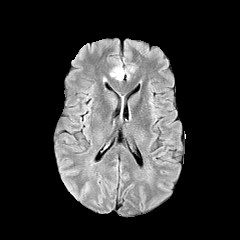
FLAIR MRI.
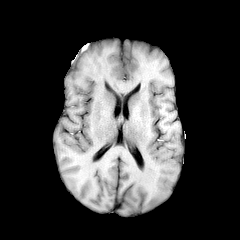
T1-weighted magnetic resonance.
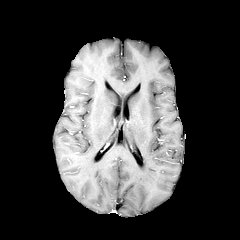
Same slice, post-contrast T1-weighted MR image.
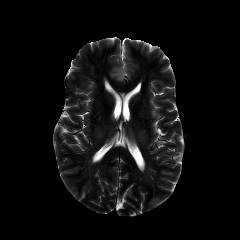
Same slice, T2-weighted MR image.
Axial plane.
The peritumoral edema lies within <box>110,66,125,80</box>.